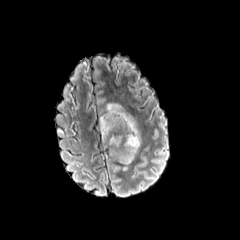
FLAIR MR image.
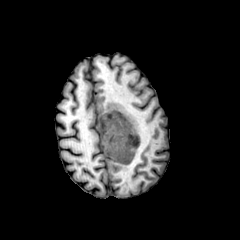
T1-weighted MR.
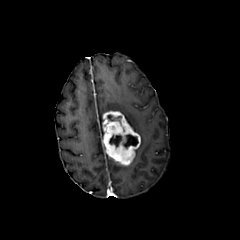
Post-contrast T1-weighted MR image of the same slice.
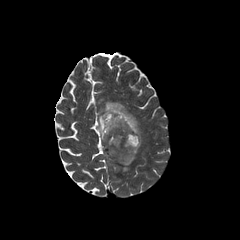
T2-weighted MRI of the same slice.
Head | Axial plane
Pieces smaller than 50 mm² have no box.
enhancing tumor: 102 110 140 165
peritumoral edema: 99 102 142 144
necrotic tumor core: 123 134 138 147, 109 135 121 146